Image size 240x240
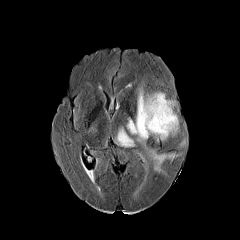
FLAIR MR.
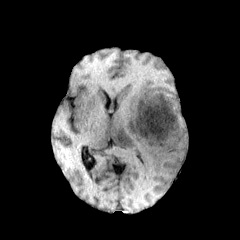
Same slice, T1-weighted magnetic resonance.
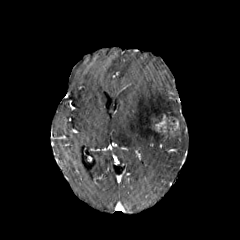
Post-contrast T1-weighted MR.
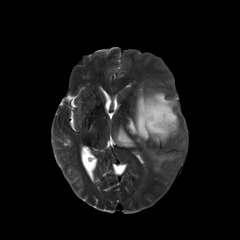
T2-weighted magnetic resonance.
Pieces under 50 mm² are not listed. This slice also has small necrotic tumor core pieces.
enhancing tumor — [151, 114, 179, 138]
peritumoral edema — [126, 86, 182, 172], [115, 127, 135, 147], [179, 137, 186, 147]